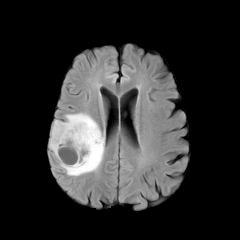
FLAIR MR.
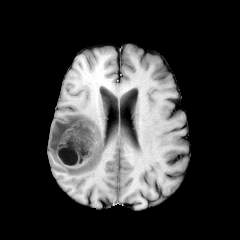
T1-weighted MRI.
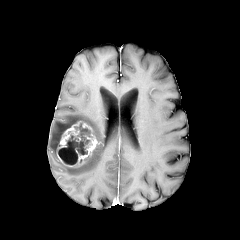
Post-contrast T1-weighted MR image of the same slice.
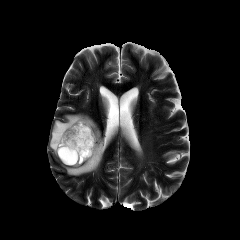
T2-weighted MR image of the same slice.
Axial slice | 240x240
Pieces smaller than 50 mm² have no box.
{
  "necrotic_tumor_core": [
    "(58,123,90,164)"
  ],
  "enhancing_tumor": [
    "(56,121,98,166)"
  ],
  "peritumoral_edema": [
    "(49,113,104,176)"
  ]
}